Brain, Image width 240 mm, 1.00 mm slice spacing, Axial plane
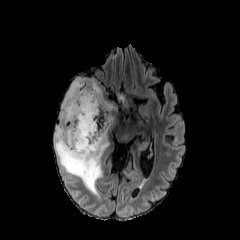
FLAIR MR image.
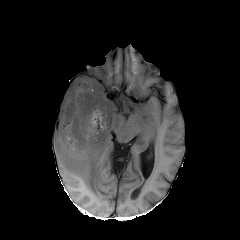
T1-weighted MR.
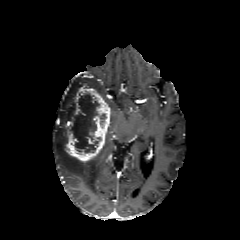
Post-contrast T1-weighted MR.
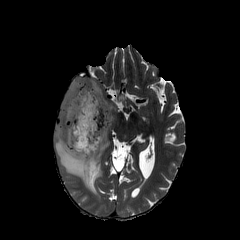
T2-weighted magnetic resonance.
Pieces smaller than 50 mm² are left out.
enhancing tumor: l=66, t=87, r=111, b=161 | peritumoral edema: l=55, t=76, r=107, b=196 | necrotic tumor core: l=71, t=93, r=99, b=152